FLAIR MR image.
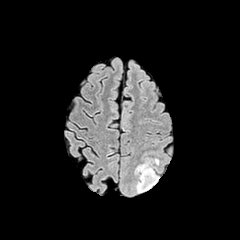
T1-weighted MRI.
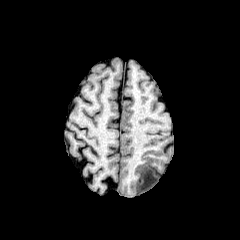
Post-contrast T1-weighted MR.
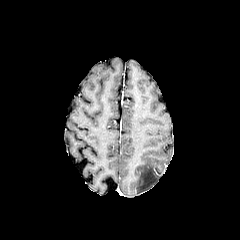
T2-weighted magnetic resonance.
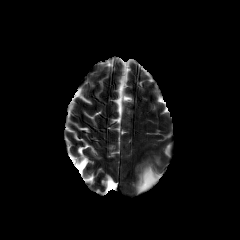
Brain | Axial slice
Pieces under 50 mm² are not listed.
peritumoral_edema:
  - (left=136, top=162, right=159, bottom=193)